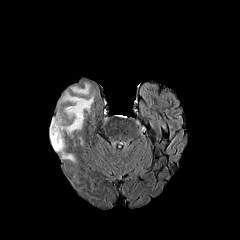
FLAIR MR.
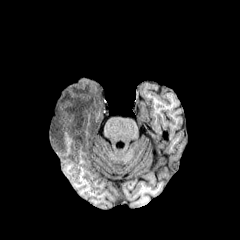
Same slice, T1-weighted magnetic resonance.
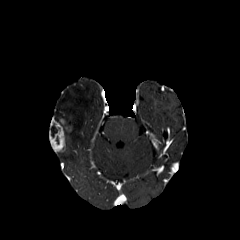
Post-contrast T1-weighted MRI.
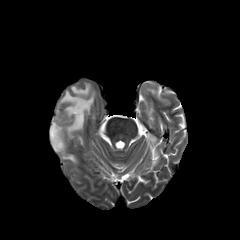
Same slice, T2-weighted MRI.
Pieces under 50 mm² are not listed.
peritumoral_edema:
  - <bbox>71, 83, 90, 96</bbox>
  - <bbox>59, 91, 93, 134</bbox>
  - <bbox>58, 152, 75, 162</bbox>
necrotic_tumor_core:
  - <bbox>51, 125, 57, 137</bbox>
enhancing_tumor:
  - <bbox>49, 117, 64, 152</bbox>